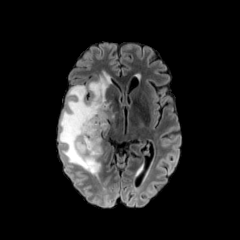
FLAIR MR image.
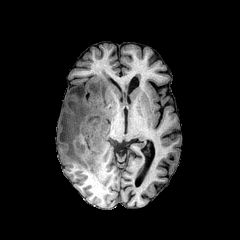
T1-weighted MR.
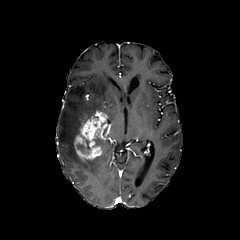
Same slice, post-contrast T1-weighted MR image.
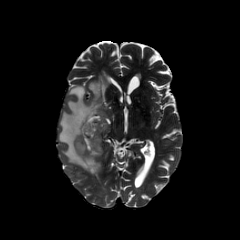
Same slice, T2-weighted MR image.
Axial slice; 240x240 px
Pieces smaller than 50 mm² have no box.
peritumoral_edema:
  - {"x1": 58, "y1": 73, "x2": 115, "y2": 175}
enhancing_tumor:
  - {"x1": 74, "y1": 111, "x2": 109, "y2": 161}
necrotic_tumor_core:
  - {"x1": 93, "y1": 129, "x2": 101, "y2": 147}
  - {"x1": 76, "y1": 136, "x2": 91, "y2": 154}